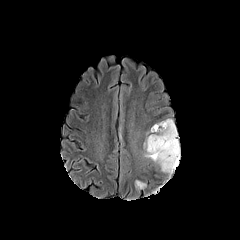
FLAIR MR image.
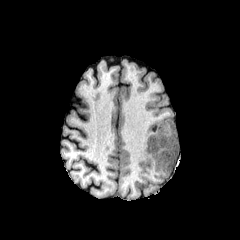
T1-weighted MR.
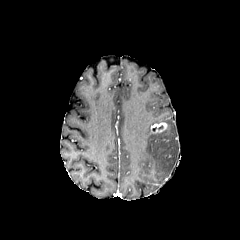
Post-contrast T1-weighted MR image.
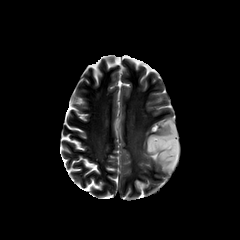
Same slice, T2-weighted MR image.
Axial slice. Brain.
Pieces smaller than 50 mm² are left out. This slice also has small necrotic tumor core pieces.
peritumoral edema at l=144, t=119, r=180, b=173; l=135, t=180, r=145, b=188
enhancing tumor at l=151, t=122, r=167, b=133